240x240 px
FLAIR MRI.
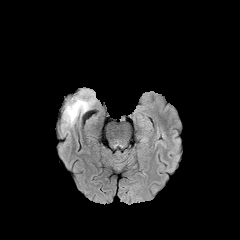
T1-weighted MR image.
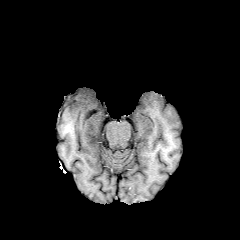
Post-contrast T1-weighted MR.
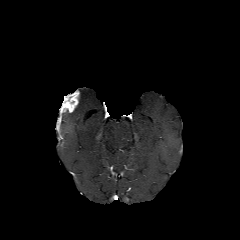
T2-weighted magnetic resonance.
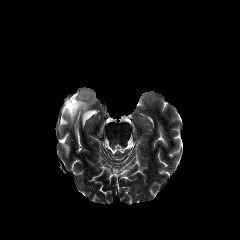
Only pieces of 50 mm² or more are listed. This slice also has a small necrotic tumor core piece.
peritumoral edema at rect(61, 89, 96, 130)
enhancing tumor at rect(61, 90, 79, 112)